FLAIR MR.
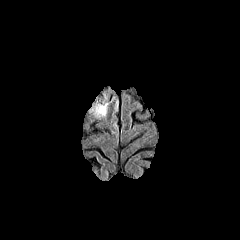
T1-weighted MRI.
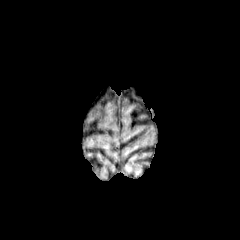
Post-contrast T1-weighted MR image.
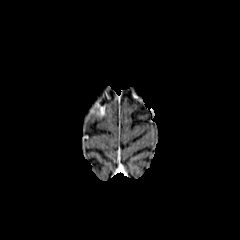
T2-weighted magnetic resonance.
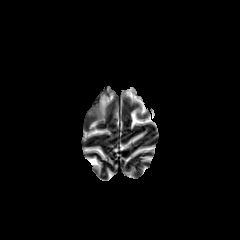
Brain, Axial plane, 240x240
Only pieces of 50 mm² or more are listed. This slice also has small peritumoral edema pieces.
The enhancing tumor appears at <bbox>91, 103, 105, 117</bbox>.